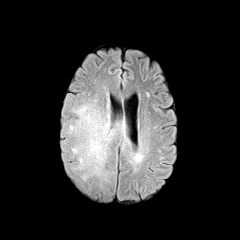
FLAIR magnetic resonance.
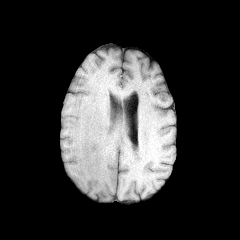
T1-weighted magnetic resonance.
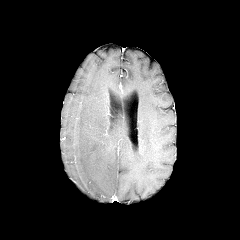
Post-contrast T1-weighted magnetic resonance of the same slice.
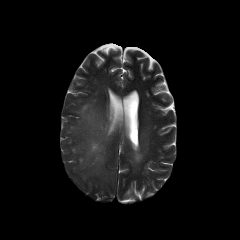
T2-weighted MR image.
Image size 240x240 | Brain
peritumoral edema: (left=68, top=100, right=127, bottom=180)